FLAIR magnetic resonance.
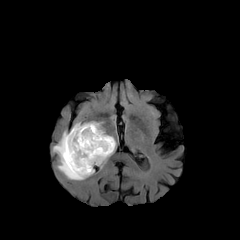
T1-weighted MR image.
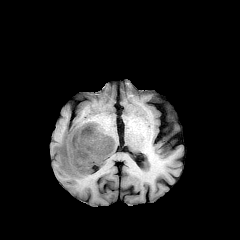
Post-contrast T1-weighted magnetic resonance.
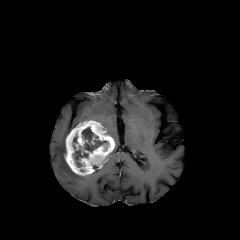
T2-weighted MR image.
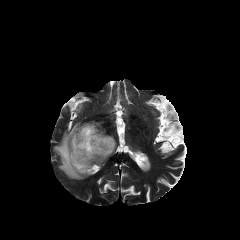
Brain
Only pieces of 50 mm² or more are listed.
necrotic tumor core: bounding box (x1=72, y1=140, x2=109, y2=166), (x1=82, y1=127, x2=98, y2=142)
enhancing tumor: bounding box (x1=64, y1=120, x2=115, y2=176)
peritumoral edema: bounding box (x1=53, y1=131, x2=92, y2=180)